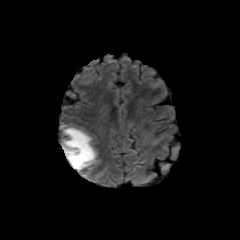
FLAIR MRI.
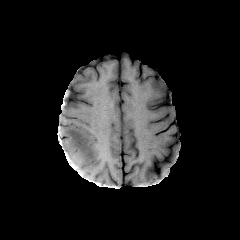
T1-weighted MR image.
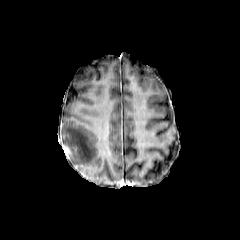
Same slice, post-contrast T1-weighted MR.
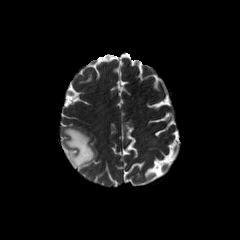
T2-weighted MR image.
240x240 px
enhancing tumor at l=62, t=144, r=72, b=158
peritumoral edema at l=62, t=126, r=97, b=177